Slice 72 of 155; Brain; 240x240
FLAIR magnetic resonance.
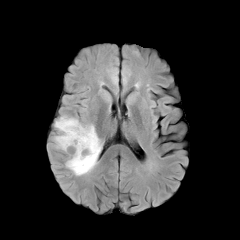
T1-weighted MR.
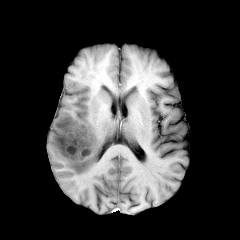
Post-contrast T1-weighted magnetic resonance.
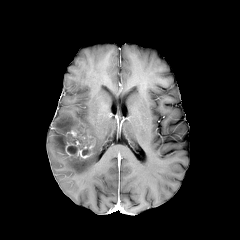
T2-weighted magnetic resonance.
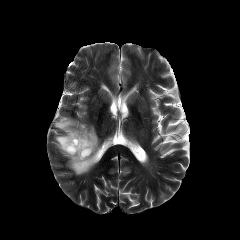
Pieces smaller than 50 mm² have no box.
peritumoral edema: region(53, 116, 82, 154); region(66, 124, 101, 175)
necrotic tumor core: region(67, 146, 77, 154)
enhancing tumor: region(64, 124, 94, 158)